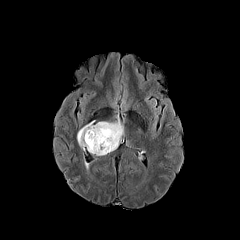
FLAIR MRI.
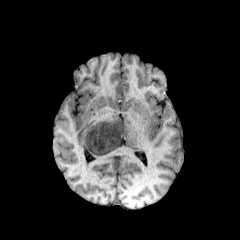
T1-weighted MR.
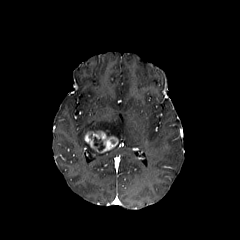
Post-contrast T1-weighted MR.
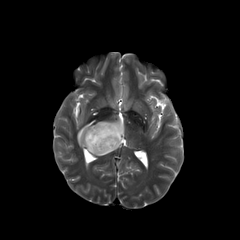
T2-weighted MR image.
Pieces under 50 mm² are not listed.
Segmented structures:
• peritumoral edema: bbox(77, 118, 124, 155)
• necrotic tumor core: bbox(94, 137, 104, 150)
• enhancing tumor: bbox(84, 130, 118, 153)